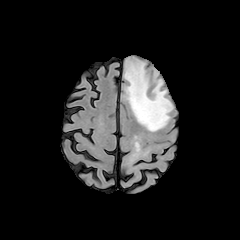
FLAIR magnetic resonance.
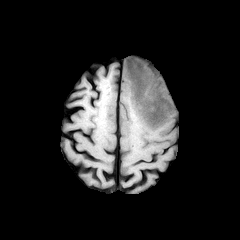
T1-weighted MR of the same slice.
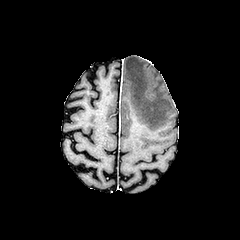
Same slice, post-contrast T1-weighted MR.
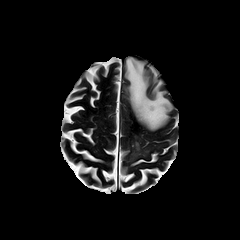
T2-weighted MRI.
Image size 240x240
<segmentation>
  <peritumoral_edema>left=124, top=57, right=173, bottom=131</peritumoral_edema>
</segmentation>